Brain, Axial view, Slice 115 of 155
FLAIR MRI.
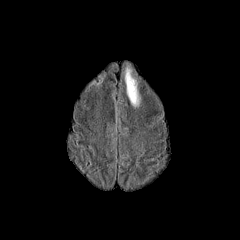
T1-weighted magnetic resonance.
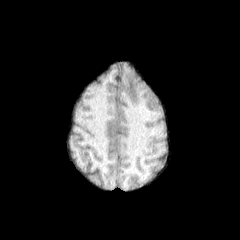
Post-contrast T1-weighted MR.
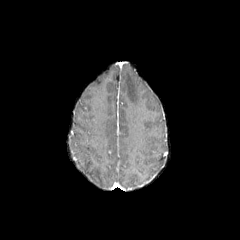
T2-weighted MR.
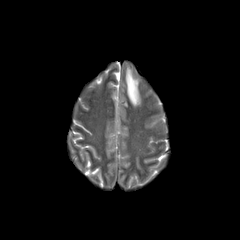
peritumoral edema — {"x1": 124, "y1": 66, "x2": 141, "y2": 107}